FLAIR MR image.
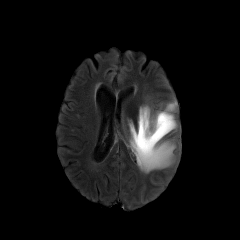
T1-weighted MR image.
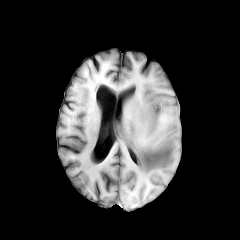
Post-contrast T1-weighted MR.
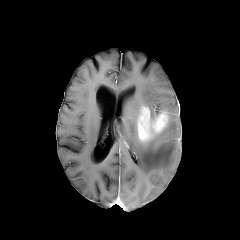
T2-weighted magnetic resonance.
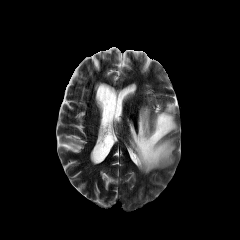
Axial slice, Head, Image size 240x240
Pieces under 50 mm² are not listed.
The enhancing tumor is at (x1=138, y1=107, x2=167, y2=140). The largest peritumoral edema region lies within (x1=129, y1=100, x2=177, y2=173).